Head; Slice index 54; Image width 240 mm, 1.00 mm slice spacing
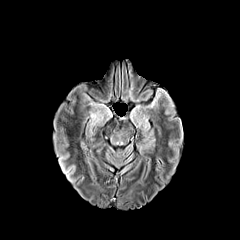
FLAIR magnetic resonance.
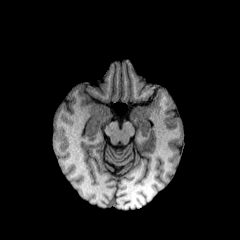
T1-weighted MR image.
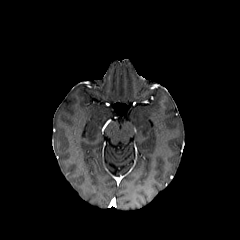
Same slice, post-contrast T1-weighted MR.
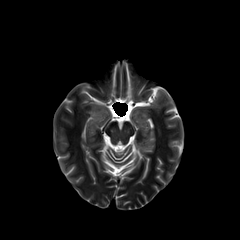
Same slice, T2-weighted MR image.
<segmentation>
  <peritumoral_edema>[91,113,102,121]</peritumoral_edema>
</segmentation>